Slice index 62. Brain.
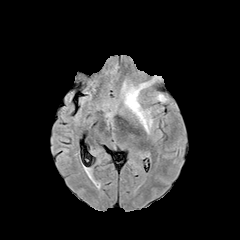
FLAIR MR.
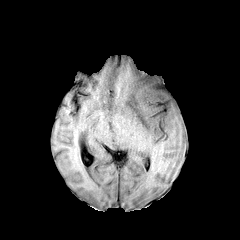
T1-weighted magnetic resonance.
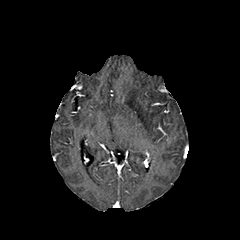
Post-contrast T1-weighted MR image.
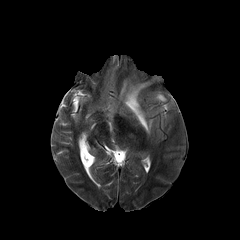
T2-weighted magnetic resonance.
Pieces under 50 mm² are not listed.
peritumoral edema: (156, 94, 166, 101), (121, 81, 152, 133)